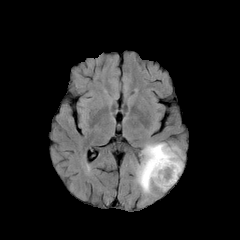
FLAIR MR image.
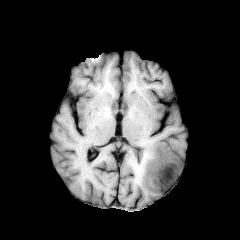
T1-weighted MR image.
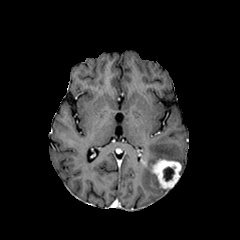
Same slice, post-contrast T1-weighted MRI.
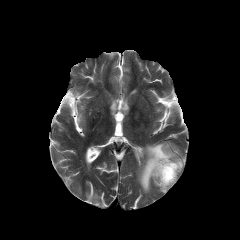
T2-weighted magnetic resonance.
Brain
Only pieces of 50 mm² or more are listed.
Annotated regions:
• enhancing tumor: (149, 159, 181, 189)
• peritumoral edema: (137, 143, 183, 193)
• necrotic tumor core: (164, 167, 174, 181)